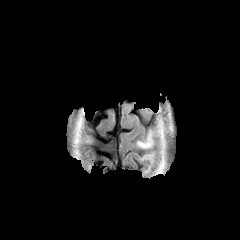
FLAIR MR image.
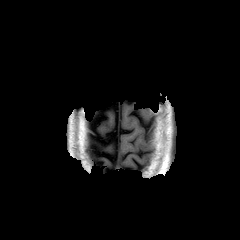
T1-weighted MR image.
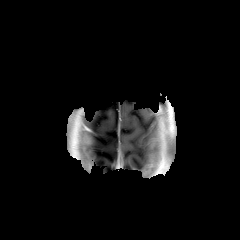
Same slice, post-contrast T1-weighted MRI.
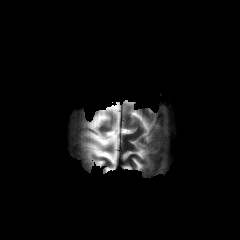
T2-weighted magnetic resonance.
Head, Axial slice
peritumoral edema at box=[138, 142, 149, 147]